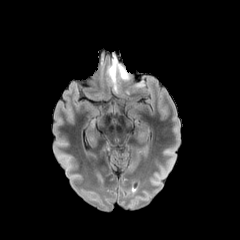
FLAIR magnetic resonance.
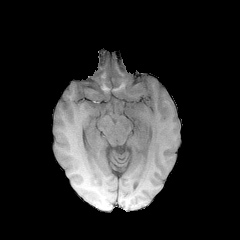
T1-weighted MR image.
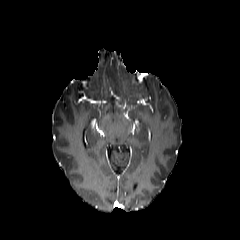
Post-contrast T1-weighted MRI.
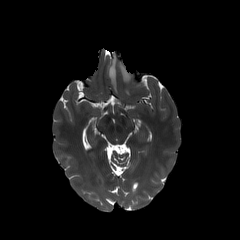
T2-weighted MR image of the same slice.
peritumoral edema = 109, 60, 116, 92; 120, 66, 129, 80